Slice index 112, Head
FLAIR magnetic resonance.
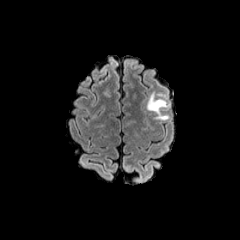
T1-weighted MR.
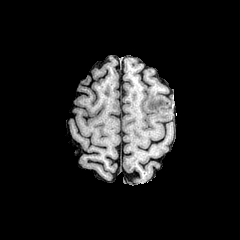
Post-contrast T1-weighted MR image.
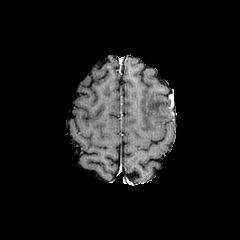
T2-weighted MR image.
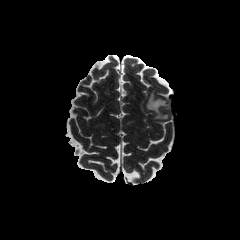
<segmentation>
  <peritumoral_edema>(146, 91, 170, 119)</peritumoral_edema>
</segmentation>